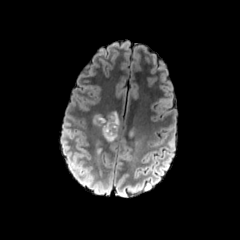
FLAIR MRI.
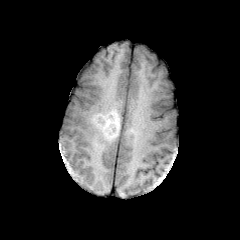
Same slice, T1-weighted MR.
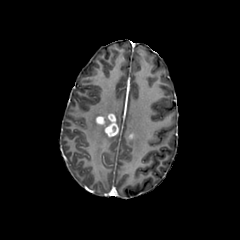
Post-contrast T1-weighted MR image of the same slice.
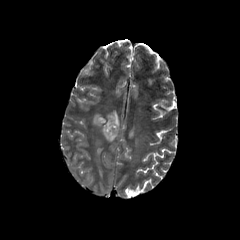
T2-weighted magnetic resonance of the same slice.
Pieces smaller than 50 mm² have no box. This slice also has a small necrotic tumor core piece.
enhancing tumor: bbox=[96, 113, 118, 137] | peritumoral edema: bbox=[95, 137, 104, 177]; bbox=[92, 114, 118, 142]; bbox=[134, 140, 143, 150]